Slice 69/155 | Axial plane
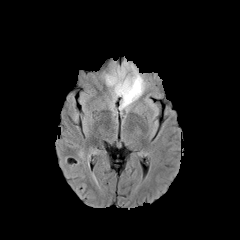
FLAIR MR.
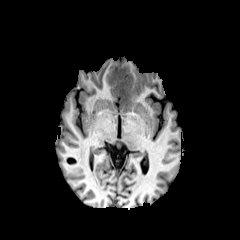
T1-weighted MR image of the same slice.
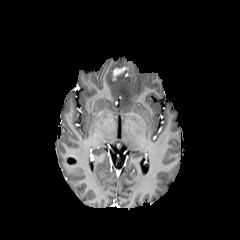
Same slice, post-contrast T1-weighted MR image.
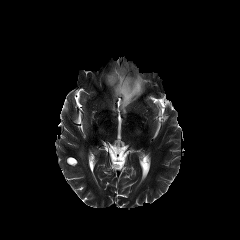
T2-weighted magnetic resonance.
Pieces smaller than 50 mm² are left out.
Findings:
- enhancing tumor: rect(112, 67, 127, 80)
- peritumoral edema: rect(105, 65, 145, 110)